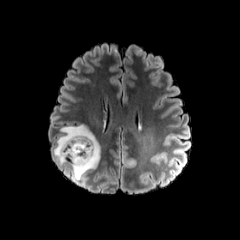
FLAIR magnetic resonance.
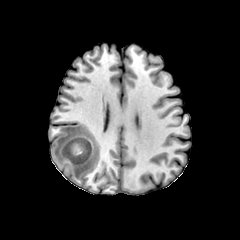
Same slice, T1-weighted MRI.
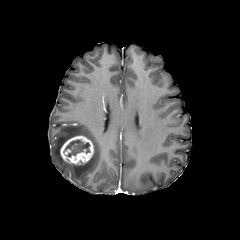
Post-contrast T1-weighted magnetic resonance of the same slice.
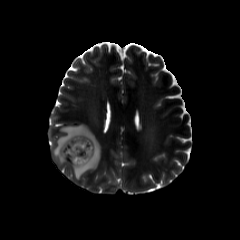
T2-weighted MR image of the same slice.
Axial view.
peritumoral edema: [x1=52, y1=124, x2=100, y2=180]
necrotic tumor core: [x1=65, y1=139, x2=89, y2=156]
enhancing tumor: [x1=60, y1=135, x2=94, y2=165]